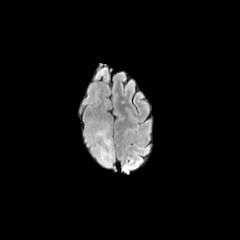
FLAIR magnetic resonance.
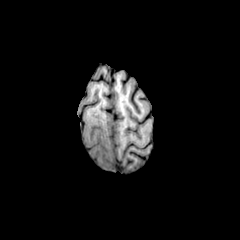
T1-weighted MR.
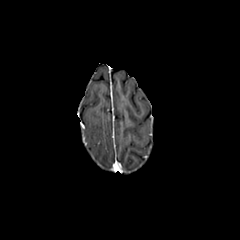
Post-contrast T1-weighted MR image of the same slice.
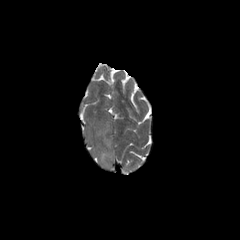
T2-weighted magnetic resonance of the same slice.
The peritumoral edema appears at [94, 125, 113, 166].